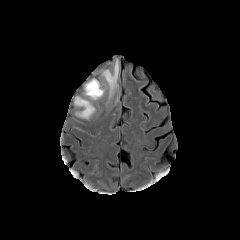
FLAIR MRI.
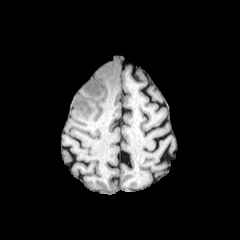
T1-weighted MR image.
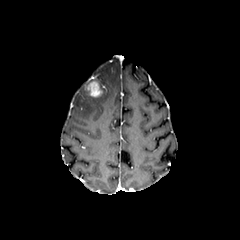
Same slice, post-contrast T1-weighted MRI.
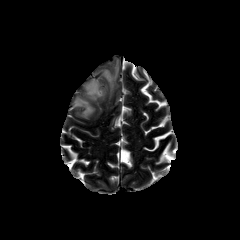
T2-weighted magnetic resonance.
enhancing tumor: left=88, top=82, right=100, bottom=96
peritumoral edema: left=100, top=58, right=119, bottom=99; left=74, top=79, right=105, bottom=119